FLAIR MR image.
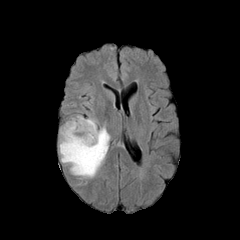
T1-weighted magnetic resonance.
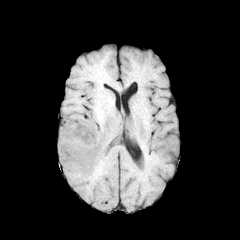
Post-contrast T1-weighted MRI.
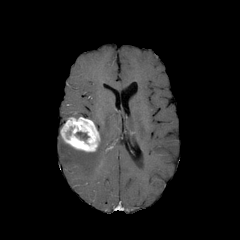
T2-weighted MR image.
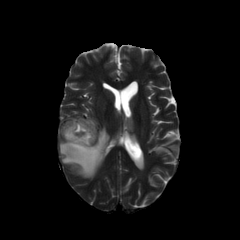
Axial slice. Brain. Image size 240x240.
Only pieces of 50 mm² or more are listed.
The enhancing tumor appears at l=60, t=117, r=100, b=152. The necrotic tumor core is at l=77, t=132, r=88, b=139. The largest peritumoral edema region is located at l=59, t=126, r=110, b=178.